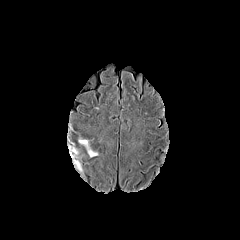
FLAIR MRI.
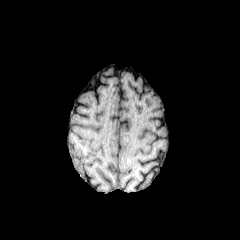
Same slice, T1-weighted magnetic resonance.
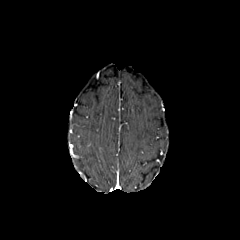
Post-contrast T1-weighted MR image of the same slice.
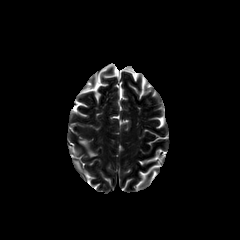
Same slice, T2-weighted MR.
240x240.
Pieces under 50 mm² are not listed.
peritumoral edema: bounding box (x1=79, y1=139, x2=97, y2=156)